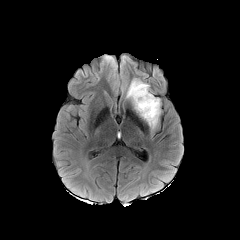
FLAIR MR.
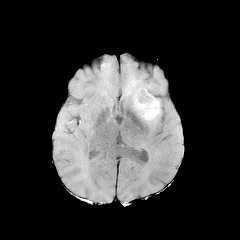
T1-weighted MR image of the same slice.
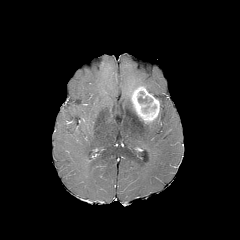
Post-contrast T1-weighted MR image of the same slice.
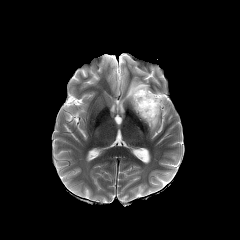
T2-weighted MR image.
240x240
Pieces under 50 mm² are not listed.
Segmented structures:
• enhancing tumor: rect(131, 86, 159, 122)
• peritumoral edema: rect(148, 98, 161, 130); rect(126, 78, 150, 99)
• necrotic tumor core: rect(138, 96, 156, 113)